Slice index 50, Brain, Axial slice, 240x240
FLAIR MRI.
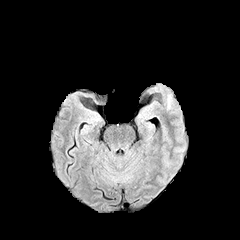
T1-weighted MR image.
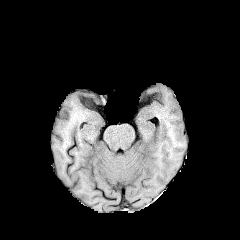
Post-contrast T1-weighted MR image.
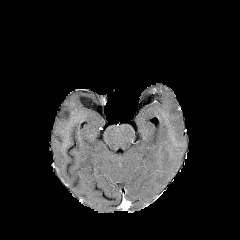
T2-weighted MR.
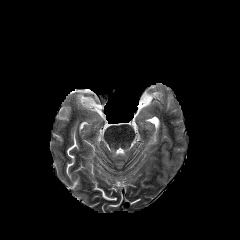
peritumoral_edema:
  - <box>167,95,171,109</box>